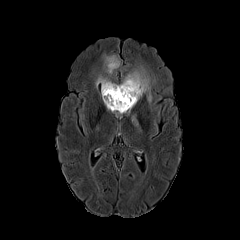
FLAIR MRI.
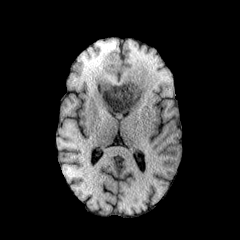
T1-weighted MR image.
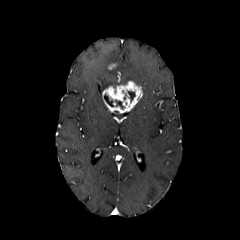
Same slice, post-contrast T1-weighted MR image.
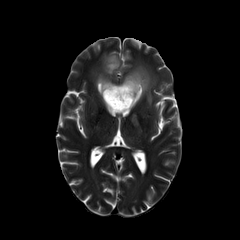
T2-weighted MRI of the same slice.
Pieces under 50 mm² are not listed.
Annotated regions:
- enhancing tumor: rect(102, 80, 142, 113)
- necrotic tumor core: rect(104, 95, 113, 106)
- peritumoral edema: rect(121, 66, 151, 103); rect(103, 55, 120, 75); rect(95, 74, 117, 95); rect(132, 115, 138, 126)